FLAIR magnetic resonance.
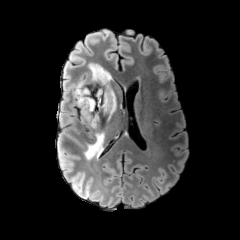
T1-weighted MR.
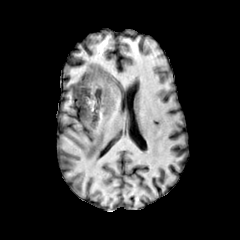
Post-contrast T1-weighted MRI.
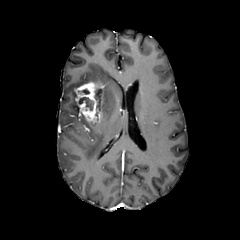
T2-weighted MR image.
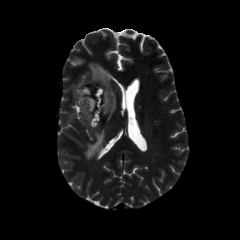
Head | Image size 240x240
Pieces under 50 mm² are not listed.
The enhancing tumor appears at bbox=[75, 81, 103, 126]. The 2 largest peritumoral edema regions appear at bbox=[73, 63, 116, 121]; bbox=[84, 123, 104, 159]. The largest necrotic tumor core region is bounded by bbox=[79, 97, 93, 110].